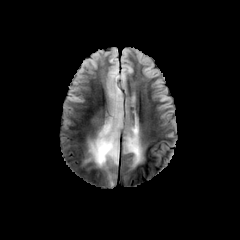
FLAIR MR.
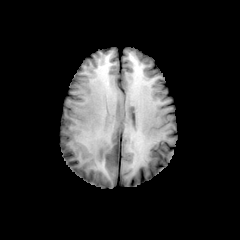
Same slice, T1-weighted MR image.
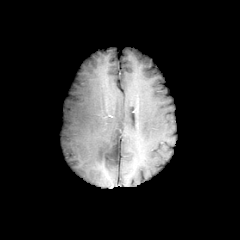
Same slice, post-contrast T1-weighted MR.
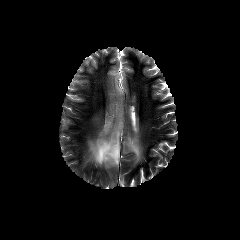
T2-weighted MR.
Head; Axial slice
peritumoral_edema:
  - 125 128 141 163
  - 89 113 122 166